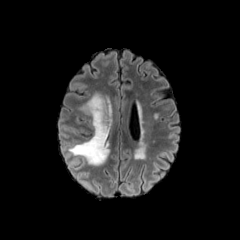
FLAIR MR image.
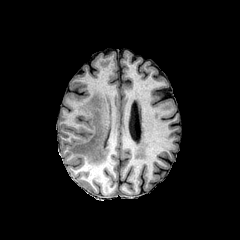
T1-weighted MR image.
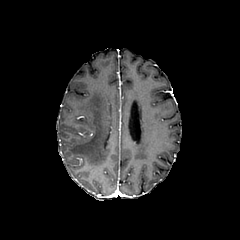
Post-contrast T1-weighted MR of the same slice.
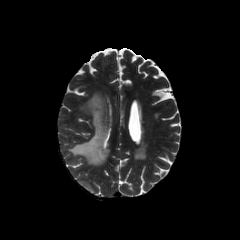
Same slice, T2-weighted MR.
Brain.
{"peritumoral_edema": [{"x1": 69, "y1": 93, "x2": 110, "y2": 165}]}